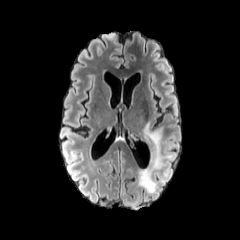
FLAIR MR image.
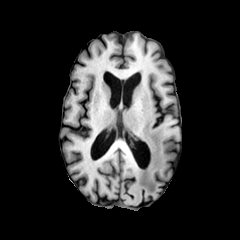
Same slice, T1-weighted MRI.
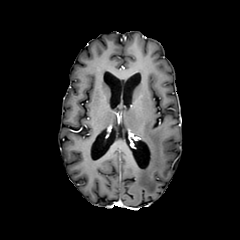
Post-contrast T1-weighted MR.
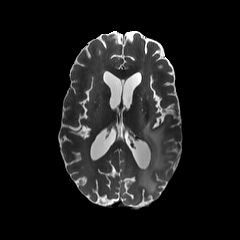
T2-weighted MRI of the same slice.
240x240
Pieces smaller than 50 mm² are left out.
peritumoral edema: bbox(138, 122, 162, 193)